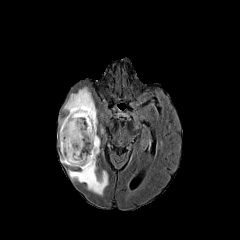
FLAIR MRI.
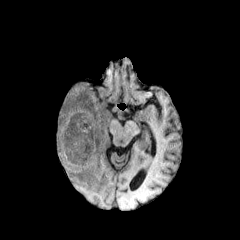
T1-weighted MR image of the same slice.
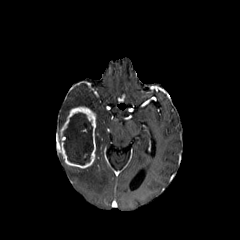
Same slice, post-contrast T1-weighted MR image.
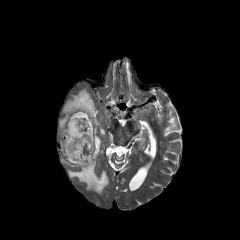
T2-weighted MR.
Brain
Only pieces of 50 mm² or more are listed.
The necrotic tumor core is at x1=62, y1=112, x2=93, y2=165. The largest enhancing tumor region is at x1=60, y1=106, x2=95, y2=168. The 2 largest peritumoral edema regions appear at x1=59, y1=87, x2=100, y2=156; x1=68, y1=159, x2=108, y2=194.